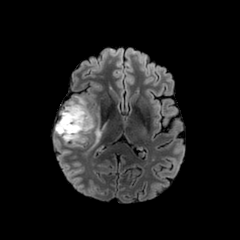
FLAIR MR.
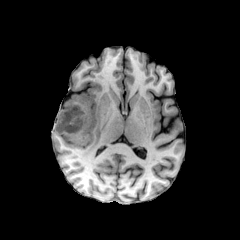
T1-weighted magnetic resonance.
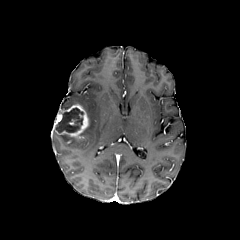
Post-contrast T1-weighted MR.
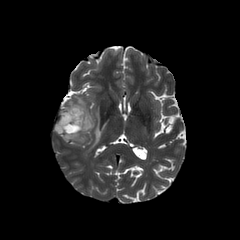
T2-weighted MR image of the same slice.
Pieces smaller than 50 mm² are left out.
The necrotic tumor core is bounded by left=57, top=108, right=83, bottom=132. The 3 largest peritumoral edema regions appear at left=63, top=96, right=93, bottom=132; left=93, top=128, right=101, bottom=146; left=62, top=134, right=85, bottom=141. The largest enhancing tumor region is located at left=55, top=104, right=89, bottom=139.